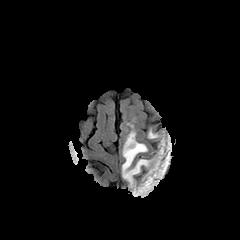
FLAIR MRI.
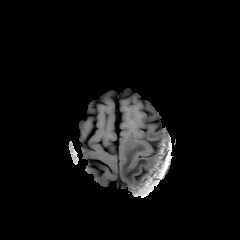
T1-weighted MRI.
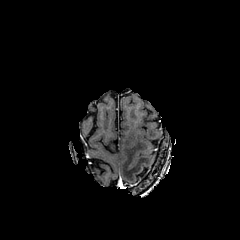
Post-contrast T1-weighted MR image of the same slice.
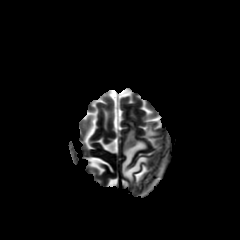
T2-weighted magnetic resonance of the same slice.
Axial view, 240x240 px, Brain
- peritumoral edema: 122 131 150 185, 148 129 158 138